FLAIR magnetic resonance.
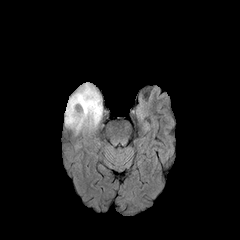
T1-weighted magnetic resonance.
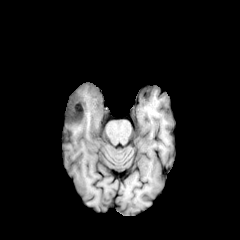
Post-contrast T1-weighted magnetic resonance.
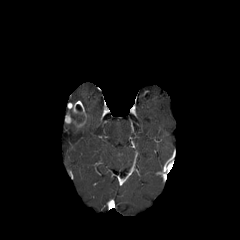
T2-weighted magnetic resonance.
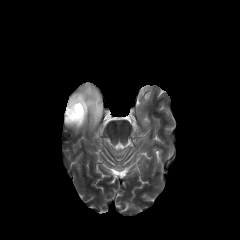
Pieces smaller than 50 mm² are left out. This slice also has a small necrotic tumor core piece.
{
  "enhancing_tumor": [
    "l=65, t=100, r=86, b=127"
  ],
  "peritumoral_edema": [
    "l=65, t=82, r=103, b=133"
  ]
}